Axial plane, Image width 240 mm, Head
FLAIR MRI.
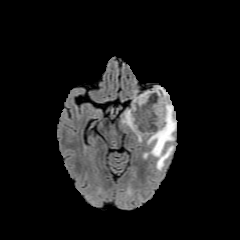
T1-weighted MR image.
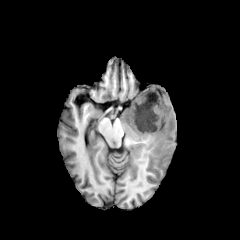
Post-contrast T1-weighted magnetic resonance.
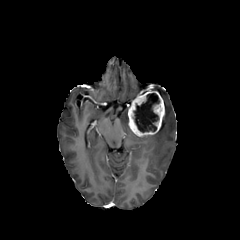
T2-weighted magnetic resonance.
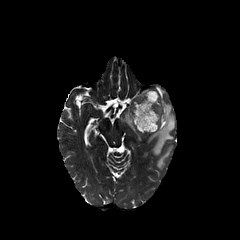
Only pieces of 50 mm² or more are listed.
The enhancing tumor is bounded by (128, 90, 164, 136). The necrotic tumor core is at (134, 93, 159, 132). The 2 largest peritumoral edema regions are located at (144, 86, 176, 170), (121, 109, 128, 126).